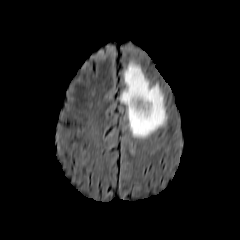
FLAIR magnetic resonance.
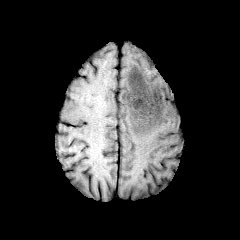
Same slice, T1-weighted magnetic resonance.
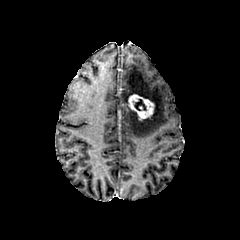
Same slice, post-contrast T1-weighted MR image.
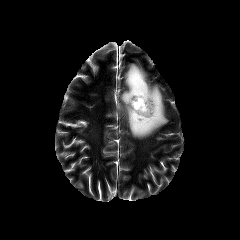
T2-weighted MR of the same slice.
Brain. Axial plane. Image size 240x240.
<segmentation>
  <necrotic_tumor_core>(x1=134, y1=99, x2=146, y2=110)</necrotic_tumor_core>
  <peritumoral_edema>(x1=120, y1=62, x2=166, y2=138)</peritumoral_edema>
  <enhancing_tumor>(x1=128, y1=94, x2=154, y2=120)</enhancing_tumor>
</segmentation>